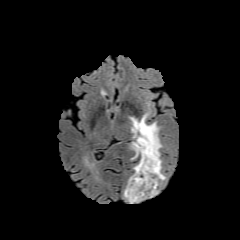
FLAIR MR image.
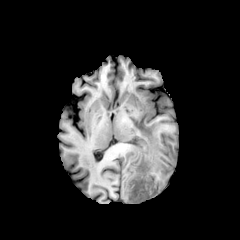
T1-weighted MRI.
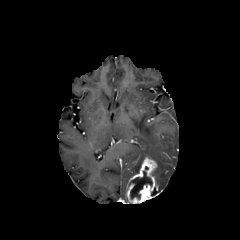
Post-contrast T1-weighted MRI of the same slice.
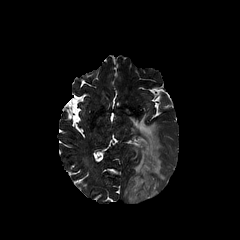
T2-weighted MR of the same slice.
Brain.
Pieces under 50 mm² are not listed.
enhancing tumor = (x1=126, y1=157, x2=157, y2=203)
necrotic tumor core = (x1=129, y1=171, x2=152, y2=198)
peritumoral edema = (x1=130, y1=113, x2=165, y2=185)